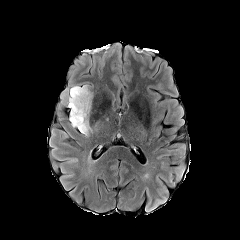
FLAIR MR image.
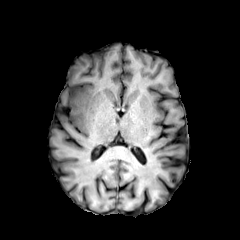
Same slice, T1-weighted magnetic resonance.
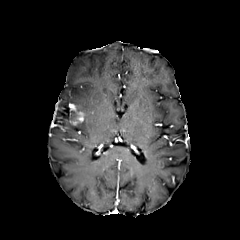
Same slice, post-contrast T1-weighted magnetic resonance.
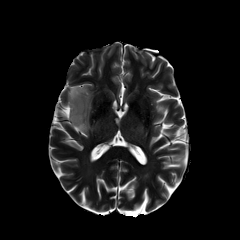
T2-weighted MRI.
240x240 px.
enhancing tumor: (x1=69, y1=103, x2=84, y2=125)
peritumoral edema: (x1=69, y1=111, x2=77, y2=121), (x1=67, y1=84, x2=92, y2=136)